Axial slice, 240x240
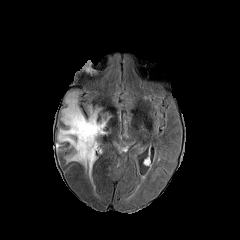
FLAIR MR.
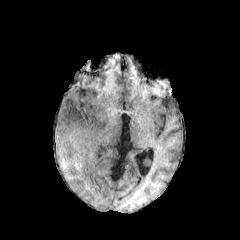
T1-weighted MR image.
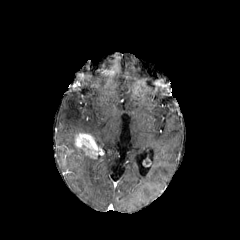
Post-contrast T1-weighted MR image of the same slice.
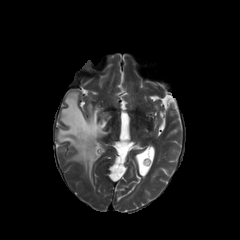
Same slice, T2-weighted MR image.
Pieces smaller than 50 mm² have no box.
The largest peritumoral edema region is bounded by (58,91,107,180). The enhancing tumor is at (75,133,100,158).